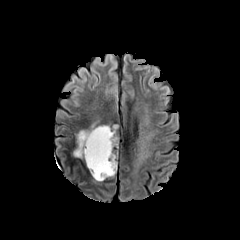
FLAIR MR image.
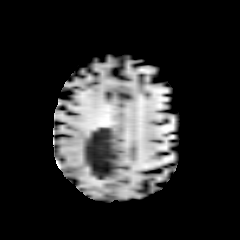
T1-weighted MRI.
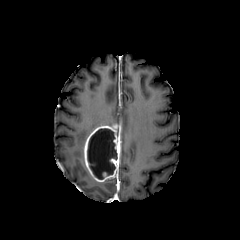
Post-contrast T1-weighted magnetic resonance.
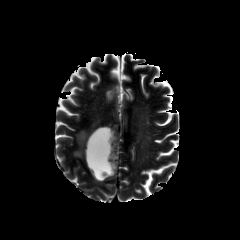
Same slice, T2-weighted MRI.
Brain.
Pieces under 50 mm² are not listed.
{
  "necrotic_tumor_core": [
    "rect(87, 129, 117, 179)"
  ],
  "peritumoral_edema": [
    "rect(73, 124, 97, 157)"
  ],
  "enhancing_tumor": [
    "rect(84, 125, 120, 182)"
  ]
}